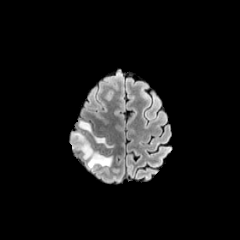
FLAIR magnetic resonance.
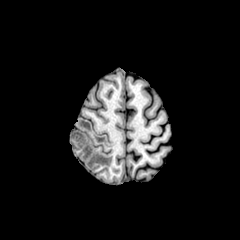
T1-weighted MR image of the same slice.
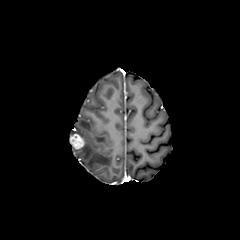
Same slice, post-contrast T1-weighted magnetic resonance.
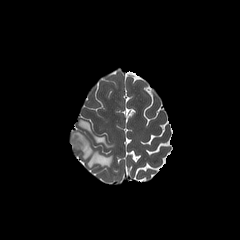
T2-weighted MRI.
Axial plane. Head.
- enhancing tumor: 70,133,85,149
- peritumoral edema: 78,120,92,134; 93,136,113,148; 71,130,112,167